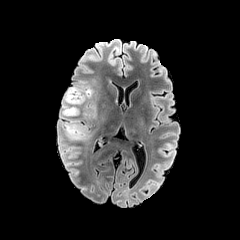
FLAIR MR.
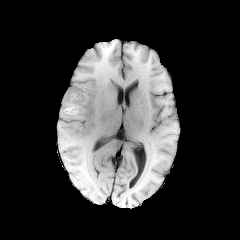
Same slice, T1-weighted MR image.
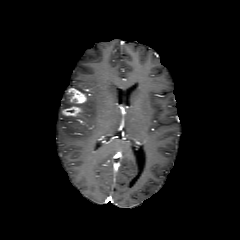
Post-contrast T1-weighted MR image of the same slice.
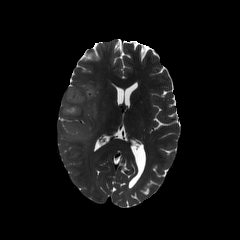
Same slice, T2-weighted MRI.
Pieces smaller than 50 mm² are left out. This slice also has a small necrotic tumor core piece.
<segmentation>
  <peritumoral_edema>box=[88, 106, 95, 116]; box=[61, 118, 89, 140]; box=[71, 87, 93, 99]; box=[62, 89, 73, 110]</peritumoral_edema>
  <enhancing_tumor>box=[62, 88, 86, 115]</enhancing_tumor>
</segmentation>